Axial plane.
FLAIR MR image.
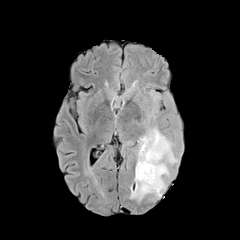
T1-weighted MRI.
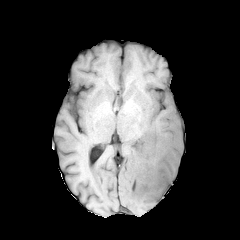
Post-contrast T1-weighted MRI.
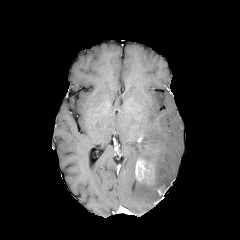
T2-weighted MRI.
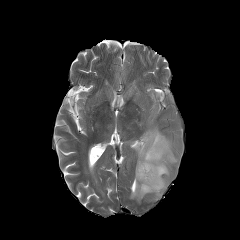
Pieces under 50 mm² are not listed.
The largest enhancing tumor region appears at l=135, t=158, r=154, b=184. The peritumoral edema lies within l=130, t=126, r=178, b=201.